Slice index 132; Brain; Axial view
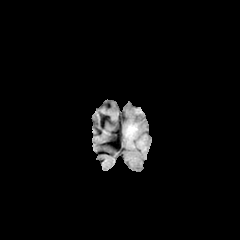
FLAIR MRI.
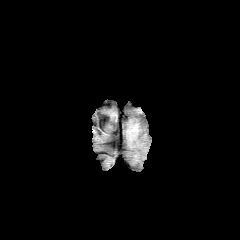
T1-weighted MR image of the same slice.
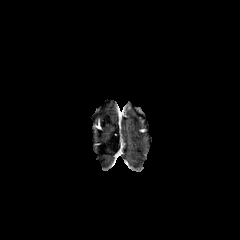
Same slice, post-contrast T1-weighted MR.
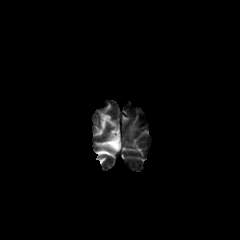
Same slice, T2-weighted MRI.
peritumoral edema: bounding box 126, 124, 136, 138